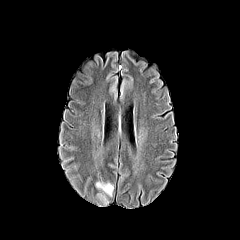
FLAIR MRI.
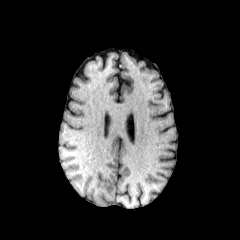
Same slice, T1-weighted magnetic resonance.
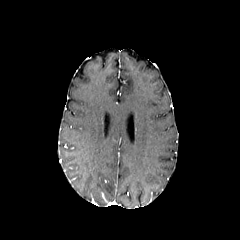
Post-contrast T1-weighted MR.
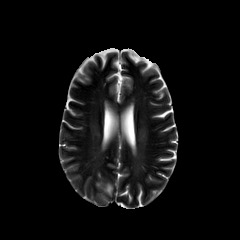
T2-weighted MRI of the same slice.
Axial plane.
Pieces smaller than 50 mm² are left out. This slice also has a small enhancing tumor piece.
peritumoral edema at 96,182,113,196